Slice 123 of 155 | Head
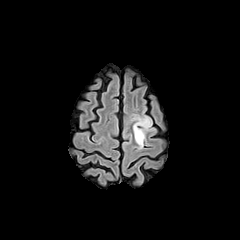
FLAIR MRI.
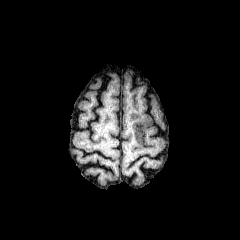
Same slice, T1-weighted MRI.
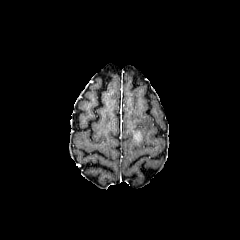
Same slice, post-contrast T1-weighted magnetic resonance.
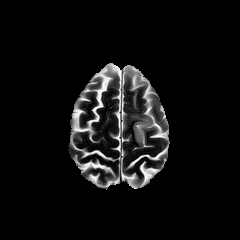
Same slice, T2-weighted MRI.
enhancing tumor at (134, 130, 142, 141)
peritumoral edema at (131, 114, 154, 149)